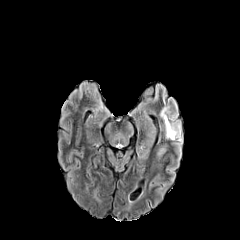
FLAIR magnetic resonance.
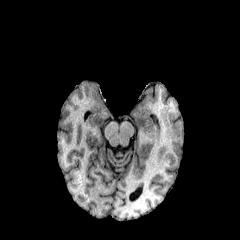
T1-weighted MR image.
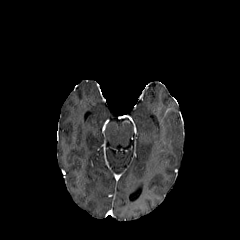
Same slice, post-contrast T1-weighted MRI.
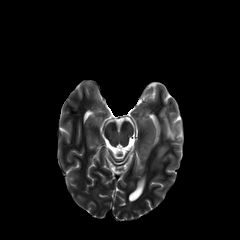
T2-weighted MRI of the same slice.
Axial slice. 240x240 px. Brain.
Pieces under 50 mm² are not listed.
peritumoral edema — {"x1": 160, "y1": 107, "x2": 180, "y2": 141}